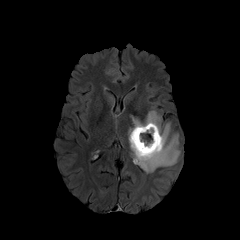
FLAIR MRI.
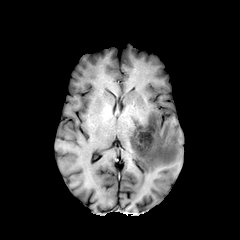
T1-weighted MR image.
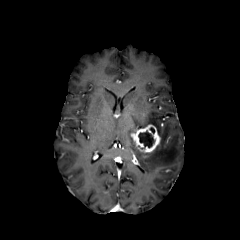
Same slice, post-contrast T1-weighted MR image.
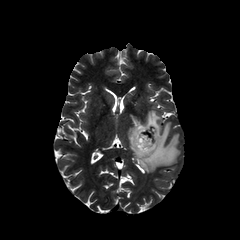
T2-weighted MR image of the same slice.
240x240. Axial slice.
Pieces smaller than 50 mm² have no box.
The peritumoral edema lies within 128, 110, 180, 173. The largest necrotic tumor core region is bounded by 138, 131, 154, 147. The largest enhancing tumor region lies within 131, 124, 160, 157.